Image covers 240 mm x 240 mm | Head | Axial view | Slice index 74
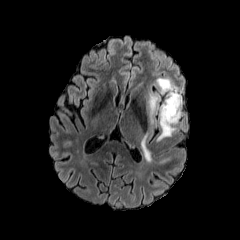
FLAIR MR.
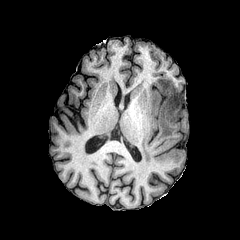
T1-weighted MRI.
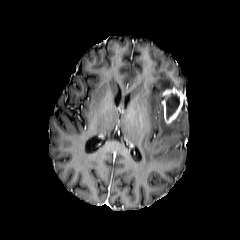
Post-contrast T1-weighted MRI of the same slice.
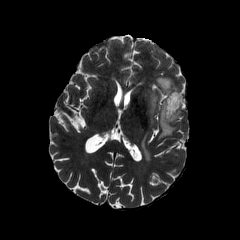
T2-weighted MRI.
- enhancing tumor: 162 87 182 123
- peritumoral edema: 149 94 160 122, 157 106 181 140, 156 78 176 93, 141 135 151 161
- necrotic tumor core: 165 93 179 119